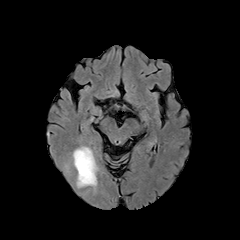
FLAIR MRI.
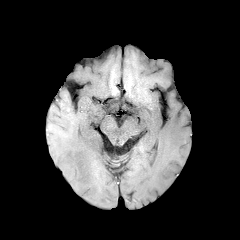
Same slice, T1-weighted MR image.
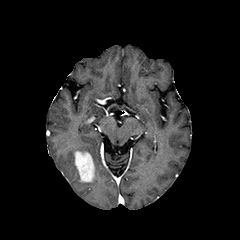
Post-contrast T1-weighted magnetic resonance of the same slice.
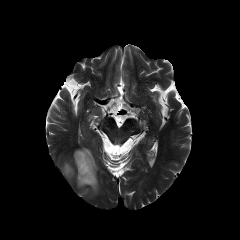
T2-weighted MR.
Brain; Axial plane
enhancing tumor: (x1=74, y1=151, x2=94, y2=182) | peritumoral edema: (x1=65, y1=164, x2=71, y2=174), (x1=73, y1=146, x2=98, y2=191)